240x240, Image width 240 mm, Axial view
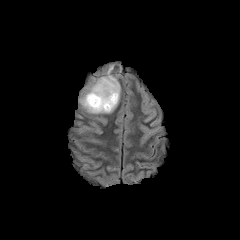
FLAIR MRI.
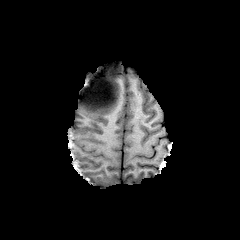
T1-weighted MRI of the same slice.
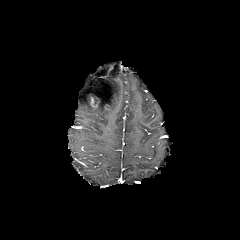
Post-contrast T1-weighted magnetic resonance of the same slice.
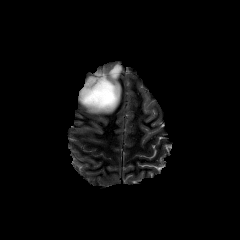
T2-weighted MR image.
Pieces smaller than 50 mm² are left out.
{"peritumoral_edema": ["(79, 67, 120, 113)"], "enhancing_tumor": ["(90, 97, 98, 108)"], "necrotic_tumor_core": ["(87, 77, 115, 109)"]}